Image width 240 mm, 1.00 mm slice spacing; Axial plane; Image size 240x240; Brain
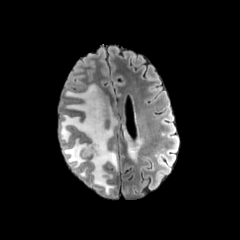
FLAIR magnetic resonance.
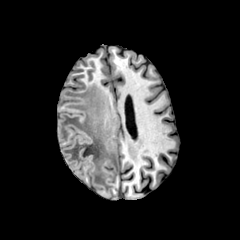
Same slice, T1-weighted MR.
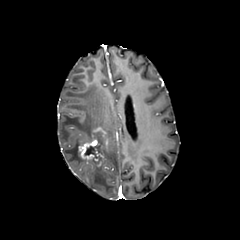
Post-contrast T1-weighted MR.
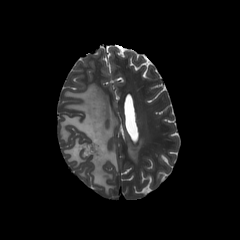
T2-weighted MR image.
Findings:
- enhancing tumor: 78, 127, 107, 165
- necrotic tumor core: 84, 132, 104, 160
- peritumoral edema: 60, 84, 118, 195; 123, 130, 143, 161; 78, 167, 87, 176